FLAIR MR image.
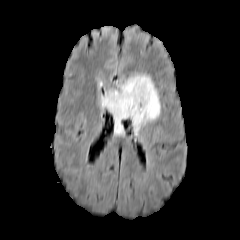
T1-weighted MRI.
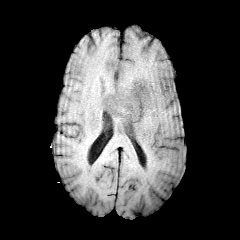
Post-contrast T1-weighted MR.
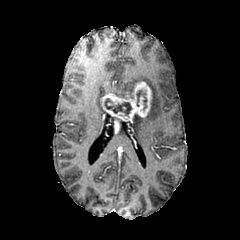
T2-weighted MR.
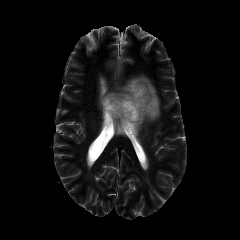
240x240 px. Head.
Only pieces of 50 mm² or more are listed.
<segmentation>
  <peritumoral_edema>105,74,160,135; 113,117,123,134</peritumoral_edema>
  <enhancing_tumor>101,81,151,122</enhancing_tumor>
  <necrotic_tumor_core>136,90,146,108; 104,98,131,115</necrotic_tumor_core>
</segmentation>